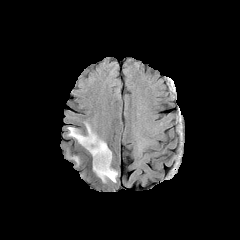
FLAIR magnetic resonance.
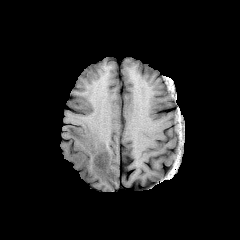
T1-weighted MR.
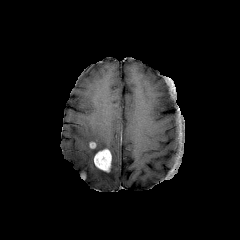
Post-contrast T1-weighted MR image of the same slice.
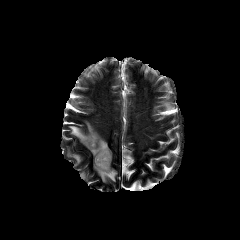
T2-weighted magnetic resonance.
Brain, Axial plane
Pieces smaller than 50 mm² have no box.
enhancing tumor at <bbox>94, 149, 111, 172</bbox>
peritumoral edema at <bbox>72, 155, 80, 165</bbox>, <bbox>68, 122, 117, 182</bbox>